Slice 78/155. Image width 240 mm, 1.00 mm slice spacing. Axial plane. Head.
FLAIR magnetic resonance.
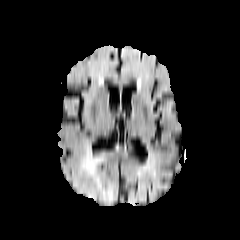
T1-weighted MR.
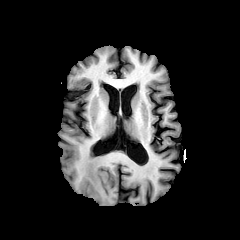
Post-contrast T1-weighted MR.
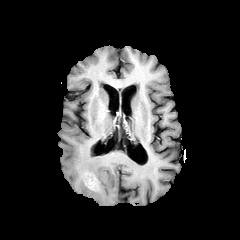
T2-weighted MRI.
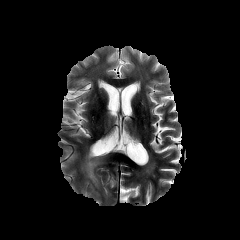
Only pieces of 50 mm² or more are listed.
2 peritumoral edema regions appear at l=81, t=151, r=102, b=197; l=102, t=189, r=113, b=201. The largest enhancing tumor region lies within l=86, t=177, r=96, b=189.